FLAIR MR.
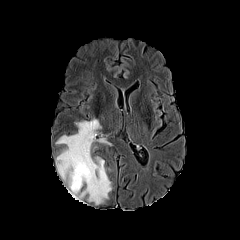
T1-weighted MR image.
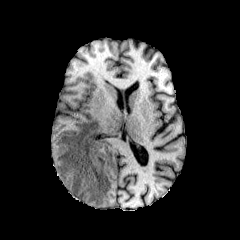
Post-contrast T1-weighted MR image.
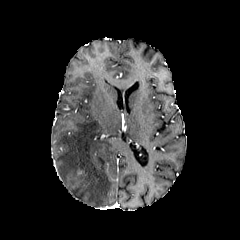
T2-weighted magnetic resonance.
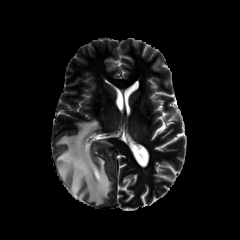
240x240, Brain
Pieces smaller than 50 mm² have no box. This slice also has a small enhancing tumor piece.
The largest peritumoral edema region is bounded by (x1=56, y1=118, x2=111, y2=205).